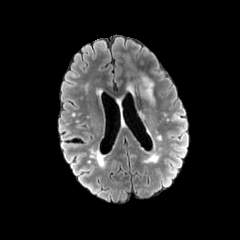
FLAIR MR.
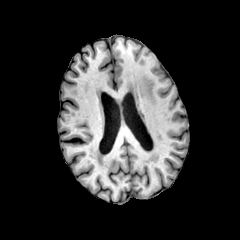
Same slice, T1-weighted MR image.
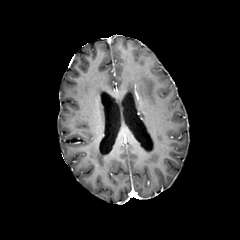
Post-contrast T1-weighted magnetic resonance of the same slice.
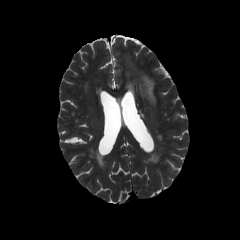
T2-weighted MR.
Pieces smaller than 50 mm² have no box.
Annotated regions:
• peritumoral edema: rect(139, 75, 154, 103)